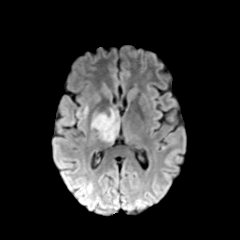
FLAIR magnetic resonance.
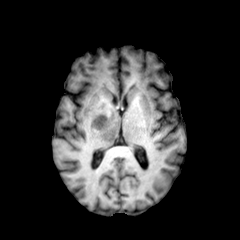
T1-weighted magnetic resonance.
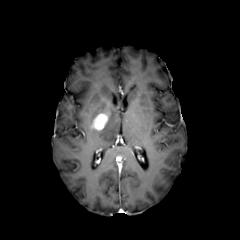
Post-contrast T1-weighted MRI.
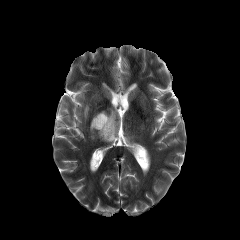
T2-weighted MRI.
Brain; 240x240
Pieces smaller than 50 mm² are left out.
Segmented structures:
• enhancing tumor: {"x1": 91, "y1": 113, "x2": 108, "y2": 130}
• peritumoral edema: {"x1": 98, "y1": 110, "x2": 118, "y2": 141}